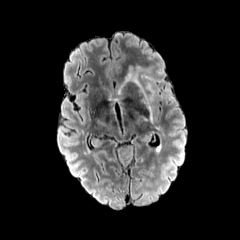
FLAIR MR.
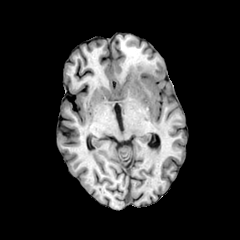
T1-weighted MR.
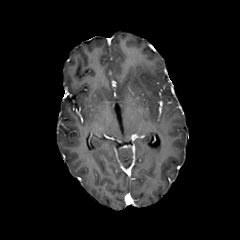
Post-contrast T1-weighted magnetic resonance.
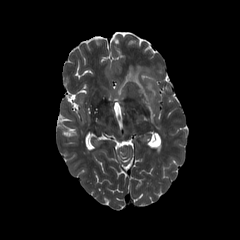
T2-weighted MR image.
Axial slice
The peritumoral edema is located at (x1=120, y1=64, x2=155, y2=121).